FLAIR MRI.
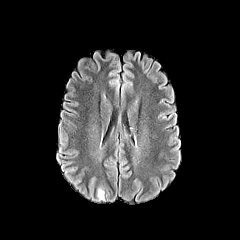
T1-weighted MR image.
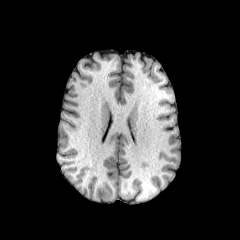
Post-contrast T1-weighted MRI.
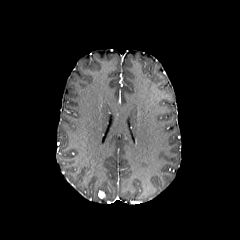
T2-weighted MR.
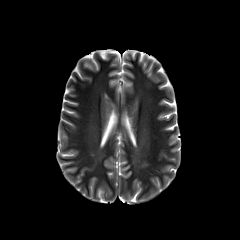
Axial slice, Brain
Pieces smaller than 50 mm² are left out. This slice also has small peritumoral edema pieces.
The enhancing tumor lies within [98,190,104,198].